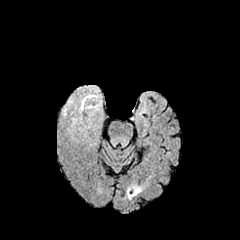
FLAIR MRI.
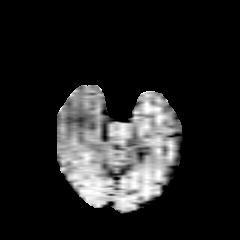
T1-weighted magnetic resonance.
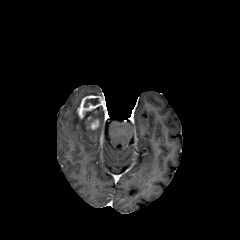
Post-contrast T1-weighted MRI.
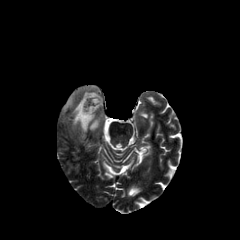
Same slice, T2-weighted magnetic resonance.
Head | 240x240 | Axial view
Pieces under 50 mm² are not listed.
2 necrotic tumor core regions are located at (x1=84, y1=98, x2=101, y2=106), (x1=82, y1=109, x2=95, y2=120). The 2 largest peritumoral edema regions are bounded by (x1=63, y1=95, x2=74, y2=115), (x1=72, y1=86, x2=98, y2=131). 2 enhancing tumor regions appear at (x1=77, y1=95, x2=102, y2=119), (x1=85, y1=116, x2=99, y2=129).